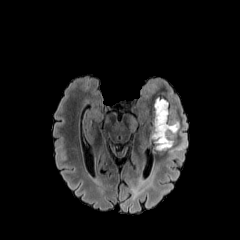
FLAIR MR image.
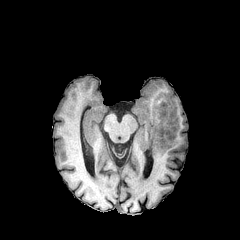
Same slice, T1-weighted MR image.
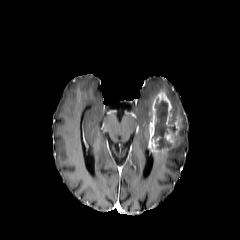
Post-contrast T1-weighted MR image.
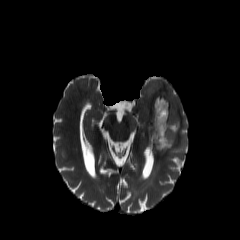
T2-weighted MR image.
Axial slice
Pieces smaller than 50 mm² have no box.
The largest necrotic tumor core region appears at [152,99,176,149]. The enhancing tumor is located at [148,92,180,154]. The peritumoral edema is bounded by [149,88,188,163].